FLAIR magnetic resonance.
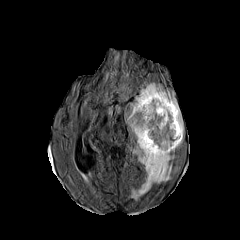
T1-weighted MR.
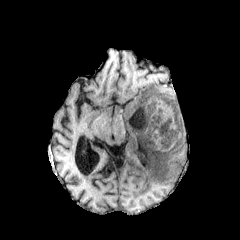
Post-contrast T1-weighted MR image.
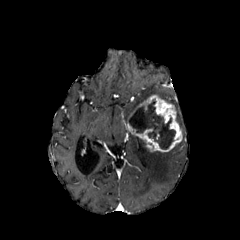
T2-weighted MR.
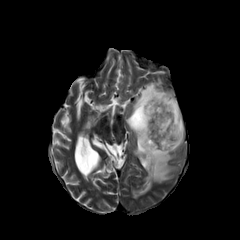
Brain, Axial slice
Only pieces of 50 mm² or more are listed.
enhancing tumor at (left=127, top=95, right=182, bottom=152)
peritumoral edema at (left=130, top=82, right=183, bottom=134), (left=131, top=137, right=174, bottom=199)
necrotic tumor core at (left=129, top=99, right=175, bottom=149)